Axial plane. Head.
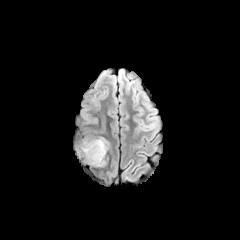
FLAIR MR image.
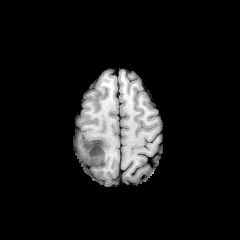
T1-weighted MRI of the same slice.
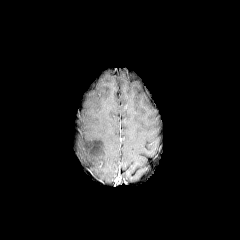
Post-contrast T1-weighted MR.
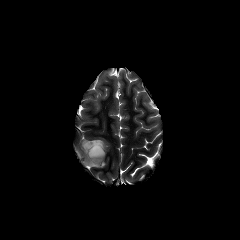
T2-weighted MR image of the same slice.
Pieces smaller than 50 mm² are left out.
peritumoral_edema:
  - 81:138:108:167